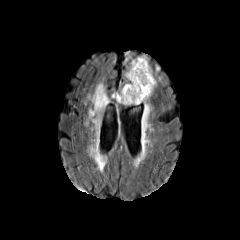
FLAIR MR image.
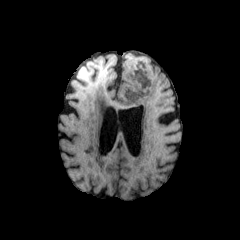
T1-weighted MR.
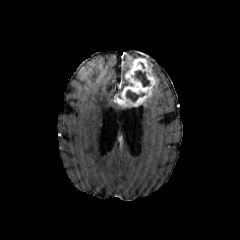
Post-contrast T1-weighted MR image of the same slice.
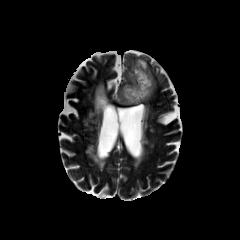
Same slice, T2-weighted MR image.
Brain | 240x240 | Axial view
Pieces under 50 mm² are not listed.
The largest peritumoral edema region is located at x1=124, y1=55, x2=135, y2=85. The 2 largest necrotic tumor core regions are bounded by x1=126, y1=90, x2=144, y2=101; x1=135, y1=70, x2=149, y2=86. The enhancing tumor lies within x1=114, y1=58, x2=157, y2=106.